Slice 77/155
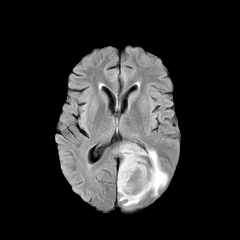
FLAIR MR.
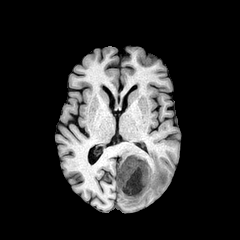
T1-weighted MR image.
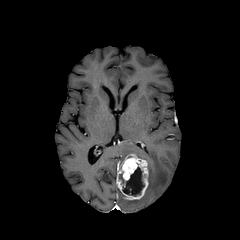
Post-contrast T1-weighted MRI.
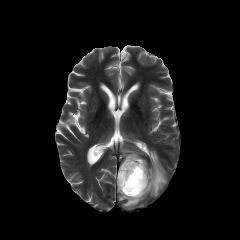
Same slice, T2-weighted MR image.
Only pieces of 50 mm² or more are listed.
peritumoral_edema:
  - 120:144:167:207
necrotic_tumor_core:
  - 122:167:144:196
enhancing_tumor:
  - 117:154:148:200